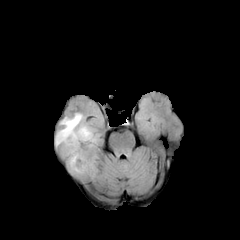
FLAIR magnetic resonance.
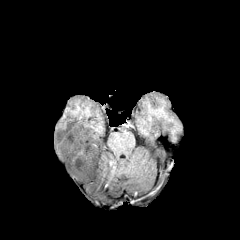
Same slice, T1-weighted MRI.
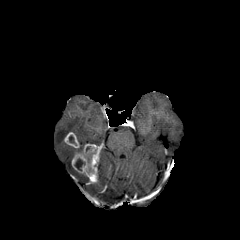
Post-contrast T1-weighted MRI.
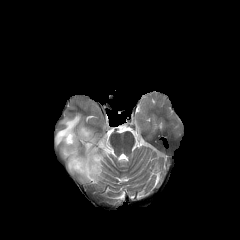
Same slice, T2-weighted MR image.
Axial view. 240x240 px.
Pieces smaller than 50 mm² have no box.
The largest necrotic tumor core region is at 75:158:84:170. 2 enhancing tumor regions appear at 64:131:80:149, 71:143:100:182. The largest peritumoral edema region appears at 55:113:99:179.